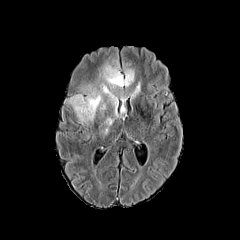
FLAIR MR.
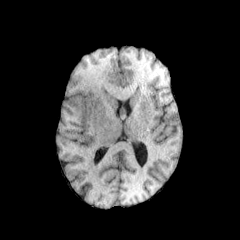
T1-weighted MR image of the same slice.
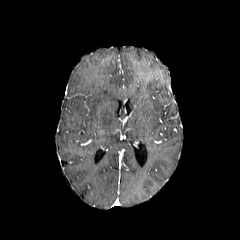
Post-contrast T1-weighted magnetic resonance.
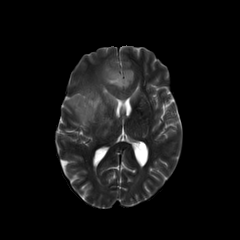
T2-weighted MRI.
Axial slice | Image size 240x240
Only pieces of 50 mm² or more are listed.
peritumoral edema: 131,82,140,97; 103,65,134,87; 70,84,117,121